Head. Slice 75/155.
FLAIR MR image.
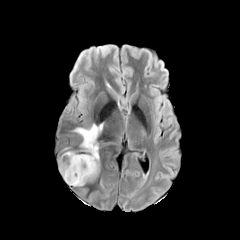
T1-weighted MRI.
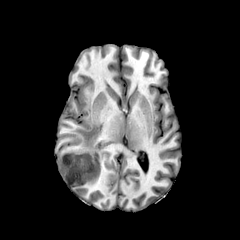
Post-contrast T1-weighted MR image.
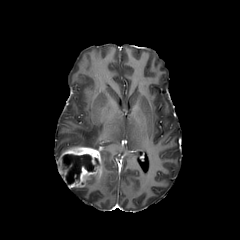
T2-weighted magnetic resonance.
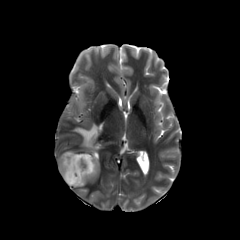
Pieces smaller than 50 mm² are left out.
enhancing tumor: bounding box l=57, t=146, r=101, b=188
peritumoral edema: bounding box l=74, t=123, r=103, b=149
necrotic tumor core: bounding box l=62, t=154, r=99, b=184